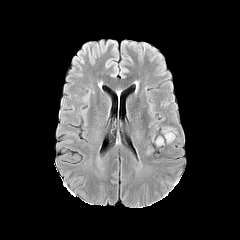
FLAIR MR image.
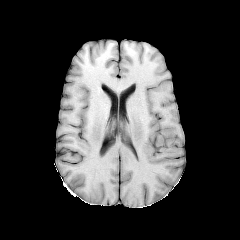
T1-weighted magnetic resonance.
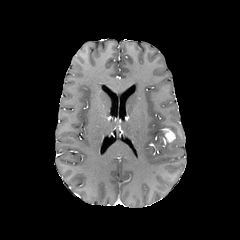
Post-contrast T1-weighted MRI of the same slice.
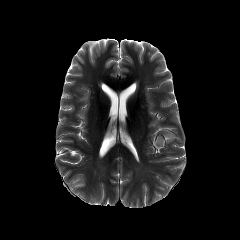
T2-weighted magnetic resonance of the same slice.
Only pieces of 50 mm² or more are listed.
The largest peritumoral edema region lies within {"x1": 156, "y1": 136, "x2": 164, "y2": 145}. The enhancing tumor appears at {"x1": 163, "y1": 128, "x2": 175, "y2": 142}.